240x240 px; Axial slice; Brain; Slice 122 of 155
FLAIR magnetic resonance.
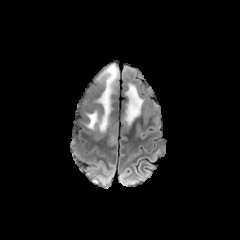
T1-weighted MRI.
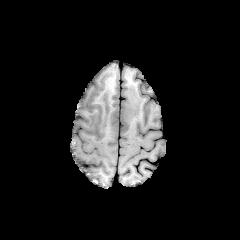
Post-contrast T1-weighted magnetic resonance.
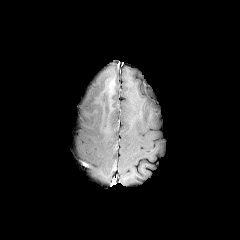
T2-weighted MRI.
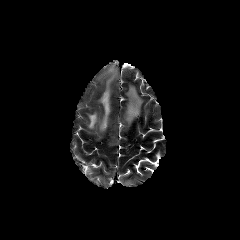
peritumoral edema at left=83, top=64, right=117, bottom=145; left=121, top=84, right=143, bottom=134